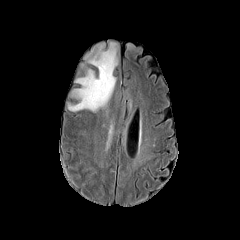
FLAIR MR.
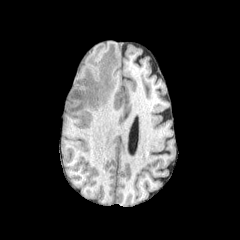
Same slice, T1-weighted magnetic resonance.
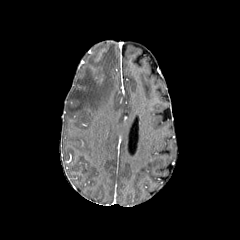
Post-contrast T1-weighted MR.
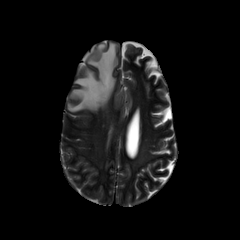
T2-weighted MR of the same slice.
Axial plane, 240x240 px
The peritumoral edema is at (68,43,117,111).